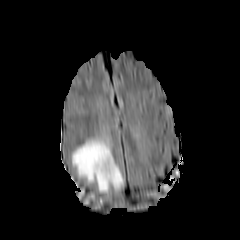
FLAIR MR.
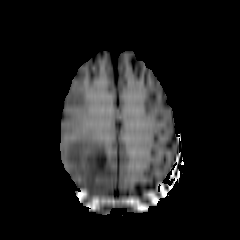
T1-weighted magnetic resonance of the same slice.
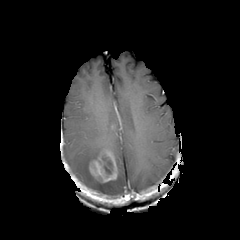
Same slice, post-contrast T1-weighted MRI.
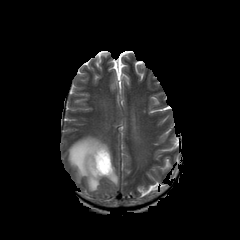
T2-weighted MR image of the same slice.
peritumoral edema = bbox=[70, 137, 124, 193]
enhancing tumor = bbox=[89, 150, 117, 182]
necrotic tumor core = bbox=[102, 157, 112, 174]